Image width 240 mm.
FLAIR MR image.
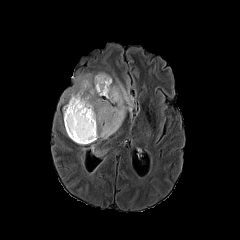
T1-weighted MR.
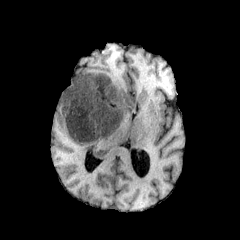
Post-contrast T1-weighted MR image.
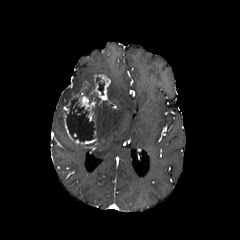
T2-weighted MR.
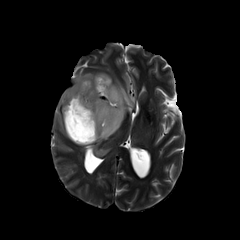
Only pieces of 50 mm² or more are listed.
<segmentation>
  <enhancing_tumor>63:74:110:144</enhancing_tumor>
  <peritumoral_edema>59:73:93:104, 95:72:134:139</peritumoral_edema>
  <necrotic_tumor_core>96:77:104:94, 66:98:95:141</necrotic_tumor_core>
</segmentation>